Axial slice
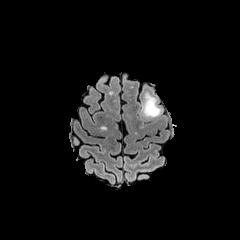
FLAIR MRI.
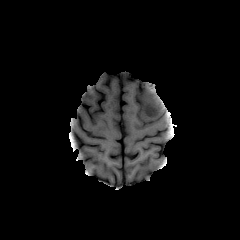
Same slice, T1-weighted magnetic resonance.
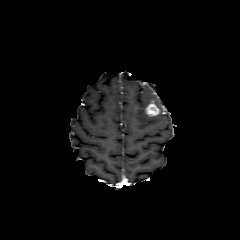
Post-contrast T1-weighted MRI of the same slice.
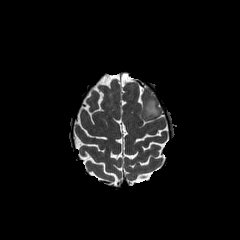
T2-weighted MR image of the same slice.
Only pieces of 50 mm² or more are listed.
<segmentation>
  <peritumoral_edema><bbox>141, 94, 156, 116</bbox></peritumoral_edema>
  <enhancing_tumor><bbox>145, 100, 159, 116</bbox></enhancing_tumor>
</segmentation>